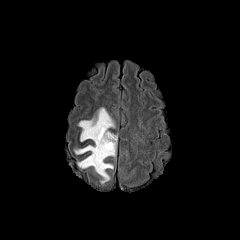
FLAIR magnetic resonance.
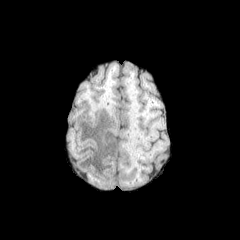
T1-weighted MRI.
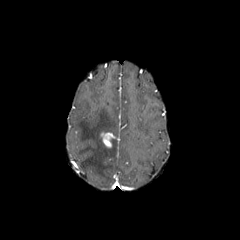
Same slice, post-contrast T1-weighted MRI.
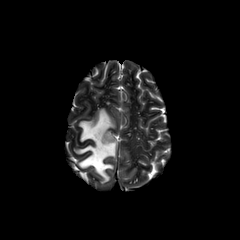
Same slice, T2-weighted MRI.
Axial slice.
enhancing tumor: <bbox>100, 132, 115, 147</bbox> | peritumoral edema: <bbox>75, 108, 116, 183</bbox>